Slice 76 of 155 | Head | 240x240
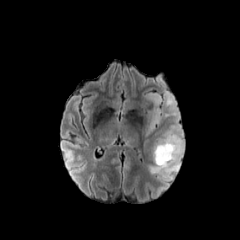
FLAIR magnetic resonance.
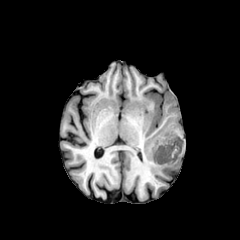
T1-weighted MR image.
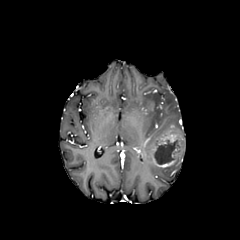
Post-contrast T1-weighted MR.
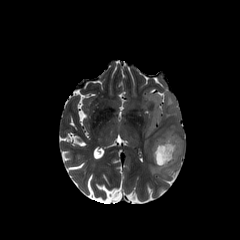
T2-weighted MRI.
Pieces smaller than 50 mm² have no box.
Annotated regions:
- enhancing tumor: (x1=152, y1=125, x2=183, y2=167)
- necrotic tumor core: (x1=154, y1=140, x2=179, y2=164)
- peritumoral edema: (x1=142, y1=90, x2=183, y2=138), (x1=150, y1=158, x2=180, y2=179)